Axial plane
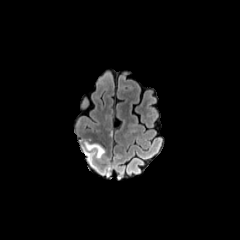
FLAIR magnetic resonance.
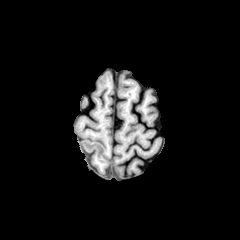
T1-weighted magnetic resonance of the same slice.
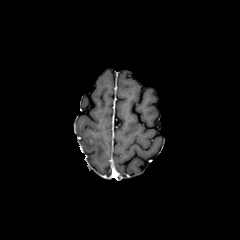
Post-contrast T1-weighted MR image.
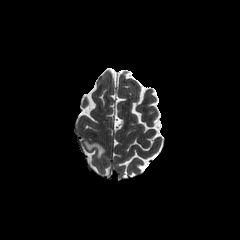
T2-weighted magnetic resonance.
peritumoral_edema:
  - 85 143 104 158